FLAIR MRI.
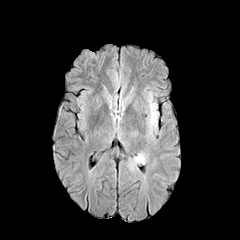
T1-weighted MR image.
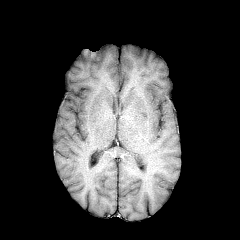
Post-contrast T1-weighted MR image.
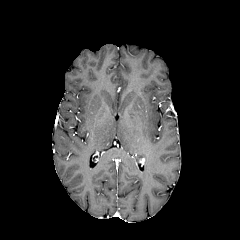
T2-weighted MRI.
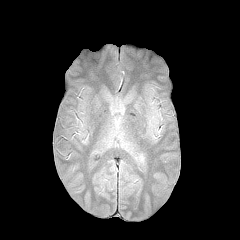
Head
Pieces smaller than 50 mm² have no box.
peritumoral edema: box(150, 103, 156, 124)